FLAIR MRI.
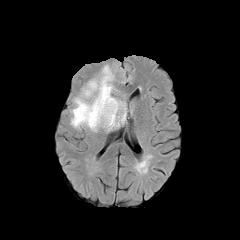
T1-weighted magnetic resonance.
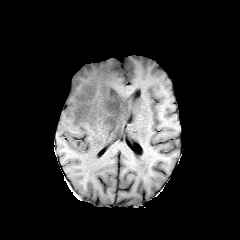
Post-contrast T1-weighted MR image.
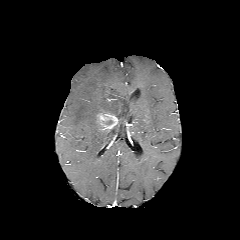
T2-weighted MR image.
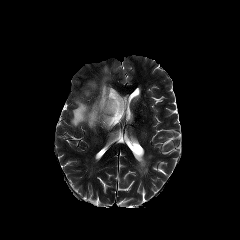
Image size 240x240, Axial slice, Brain
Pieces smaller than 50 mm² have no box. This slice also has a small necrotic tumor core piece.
peritumoral edema: bounding box <box>70,65,127,131</box>
enhancing tumor: bounding box <box>97,112,118,129</box>